FLAIR MR image.
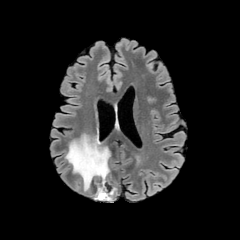
T1-weighted MR.
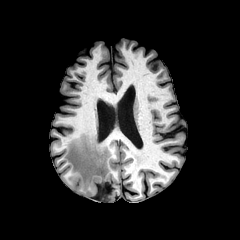
Post-contrast T1-weighted magnetic resonance.
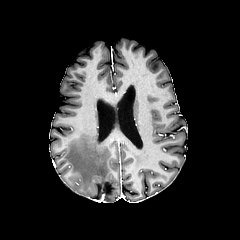
T2-weighted MR image.
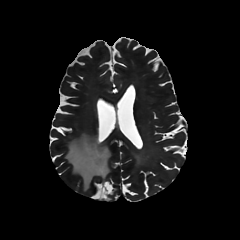
Axial slice. 240x240 px.
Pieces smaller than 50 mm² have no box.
<segmentation>
  <peritumoral_edema>bbox(64, 134, 110, 190)</peritumoral_edema>
</segmentation>